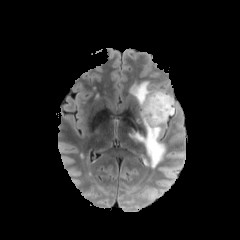
FLAIR magnetic resonance.
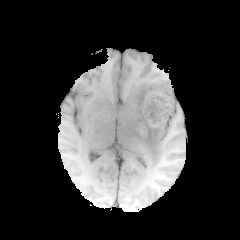
T1-weighted magnetic resonance of the same slice.
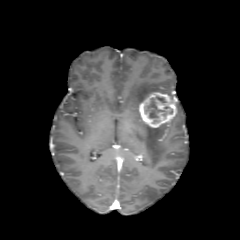
Post-contrast T1-weighted MRI of the same slice.
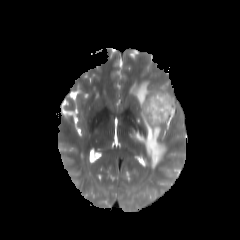
T2-weighted MRI of the same slice.
Brain.
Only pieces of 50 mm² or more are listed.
peritumoral edema = 135,121,166,168; 130,81,166,104
necrotic tumor core = 145,98,164,117
enhancing tumor = 139,92,176,127